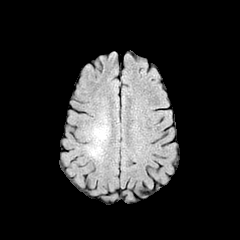
FLAIR MR.
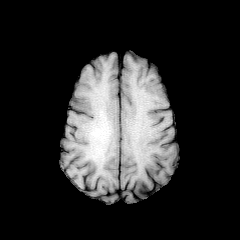
Same slice, T1-weighted MR image.
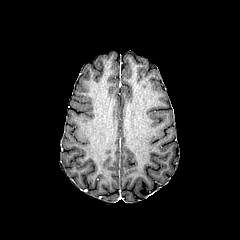
Same slice, post-contrast T1-weighted MR image.
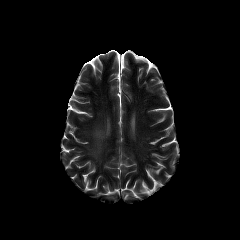
T2-weighted MRI.
240x240 px. Brain.
peritumoral edema: bounding box (left=83, top=95, right=112, bottom=163)